FLAIR MR image.
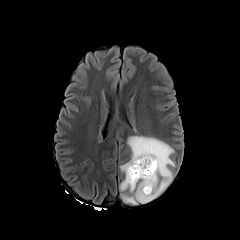
T1-weighted MRI.
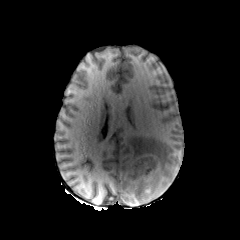
Post-contrast T1-weighted magnetic resonance.
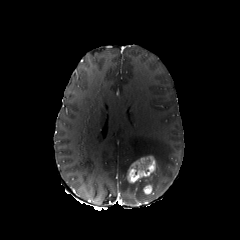
T2-weighted MR.
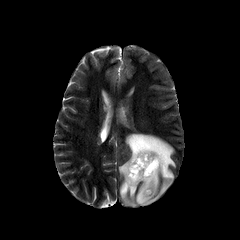
Head
<segmentation>
  <peritumoral_edema>(119, 134, 175, 204)</peritumoral_edema>
  <enhancing_tumor>(126, 155, 156, 183), (143, 184, 153, 194)</enhancing_tumor>
</segmentation>